Axial plane; Head
FLAIR MR.
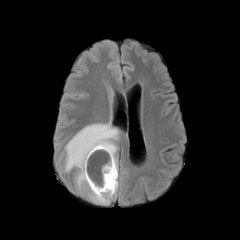
T1-weighted magnetic resonance.
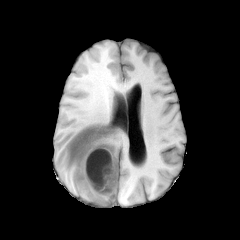
Post-contrast T1-weighted MR.
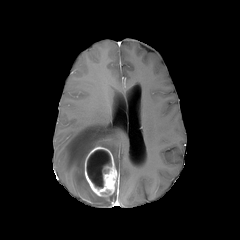
T2-weighted magnetic resonance.
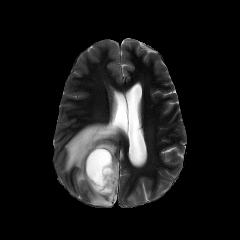
necrotic tumor core: bounding box (87,150,111,187)
enhancing tumor: bounding box (85,146,118,196)
peritumoral edema: bounding box (64,121,118,205)